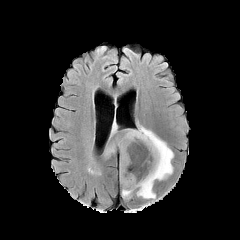
FLAIR MRI.
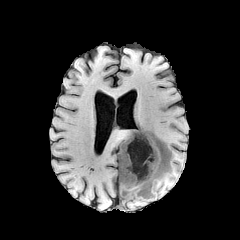
T1-weighted MR.
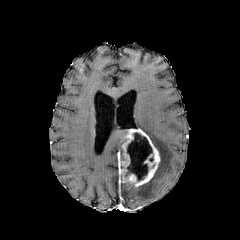
Post-contrast T1-weighted MR.
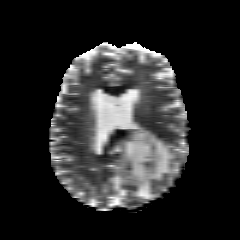
Same slice, T2-weighted MR.
Head | Axial plane
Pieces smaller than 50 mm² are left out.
The enhancing tumor is bounded by region(119, 128, 160, 187). The largest necrotic tumor core region is at region(126, 133, 152, 180). The 3 largest peritumoral edema regions appear at region(121, 188, 132, 198); region(106, 146, 114, 154); region(135, 123, 173, 199).